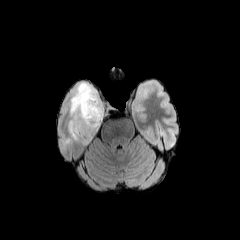
FLAIR magnetic resonance.
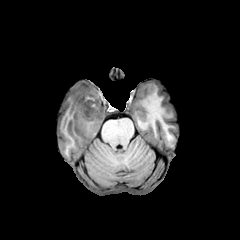
T1-weighted MR.
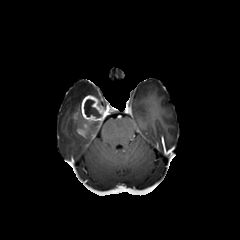
Post-contrast T1-weighted MR.
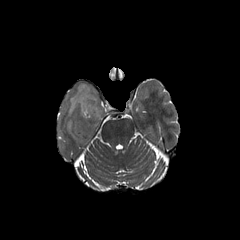
T2-weighted magnetic resonance.
240x240 | Axial view
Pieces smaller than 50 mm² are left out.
enhancing tumor: bbox(76, 95, 104, 136) | peritumoral edema: bbox(68, 82, 101, 143) | necrotic tumor core: bbox(84, 99, 101, 117)